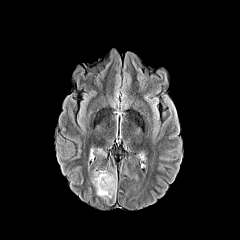
FLAIR MR image.
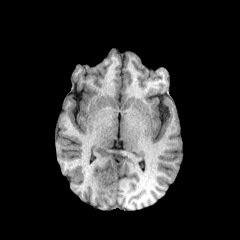
Same slice, T1-weighted MRI.
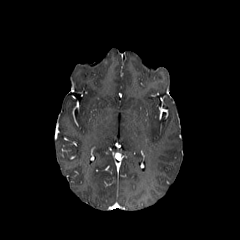
Post-contrast T1-weighted MR image.
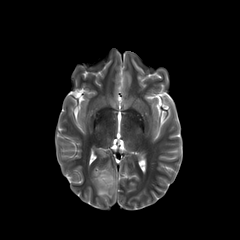
T2-weighted magnetic resonance.
Head.
peritumoral edema: bounding box x1=91, y1=170, x2=116, y2=198